Brain, Axial slice, 240x240
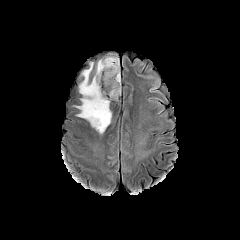
FLAIR MRI.
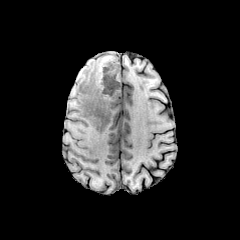
T1-weighted MR.
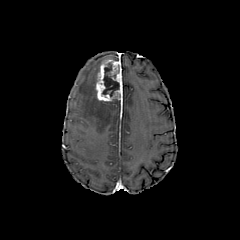
Same slice, post-contrast T1-weighted magnetic resonance.
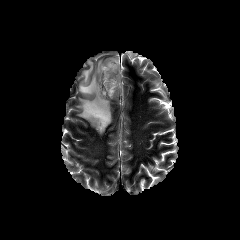
Same slice, T2-weighted MRI.
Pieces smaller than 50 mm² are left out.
enhancing_tumor:
  - {"x1": 95, "y1": 59, "x2": 122, "y2": 101}
peritumoral_edema:
  - {"x1": 75, "y1": 56, "x2": 118, "y2": 134}
necrotic_tumor_core:
  - {"x1": 103, "y1": 65, "x2": 119, "y2": 96}